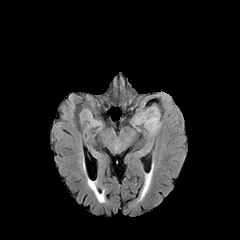
FLAIR MR image.
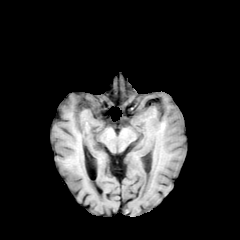
T1-weighted magnetic resonance.
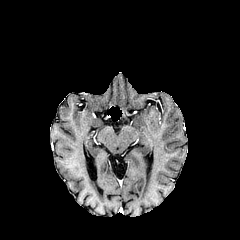
Post-contrast T1-weighted MR image.
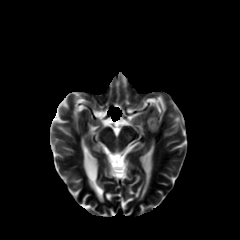
T2-weighted MR image.
Axial view
peritumoral edema — x1=147 y1=118 x2=156 y2=128